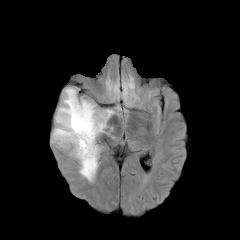
FLAIR magnetic resonance.
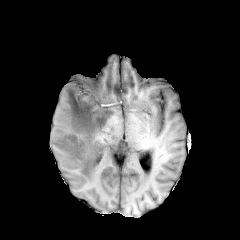
T1-weighted MR image.
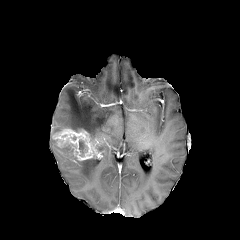
Post-contrast T1-weighted MR image.
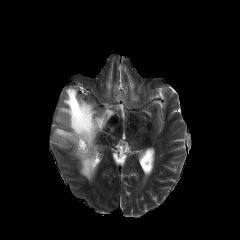
T2-weighted magnetic resonance.
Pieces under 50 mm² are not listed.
peritumoral edema — bbox=[60, 147, 75, 158]; bbox=[52, 87, 113, 138]; bbox=[78, 158, 96, 182]
enhancing tumor — bbox=[52, 128, 98, 160]